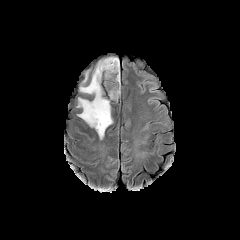
FLAIR MR image.
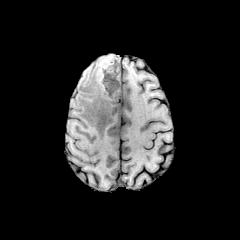
Same slice, T1-weighted MR.
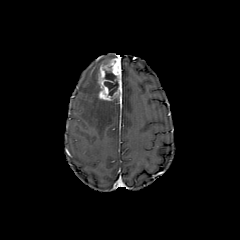
Same slice, post-contrast T1-weighted MRI.
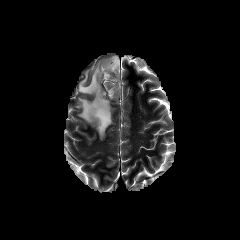
T2-weighted MR image of the same slice.
Axial view
- peritumoral edema: (left=77, top=57, right=116, bottom=139)
- enhancing tumor: (left=98, top=58, right=121, bottom=100)
- necrotic tumor core: (left=104, top=71, right=118, bottom=95)